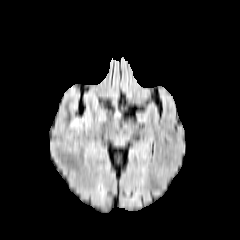
FLAIR MRI.
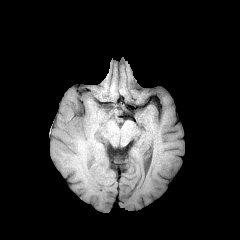
T1-weighted magnetic resonance.
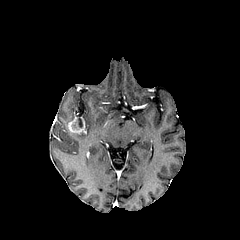
Post-contrast T1-weighted MRI of the same slice.
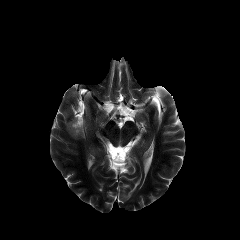
T2-weighted magnetic resonance.
Image size 240x240; Axial plane
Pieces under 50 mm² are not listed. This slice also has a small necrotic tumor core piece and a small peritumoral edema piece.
{"enhancing_tumor": ["67, 117, 85, 134"]}